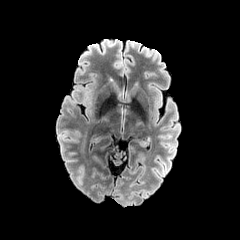
FLAIR magnetic resonance.
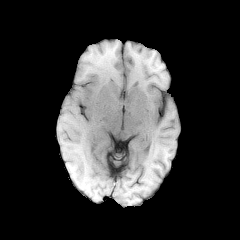
T1-weighted magnetic resonance.
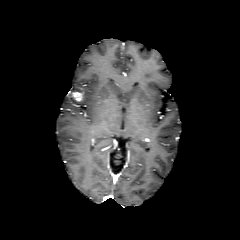
Post-contrast T1-weighted MR image of the same slice.
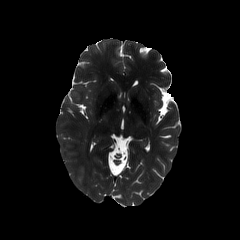
T2-weighted MR image.
Brain. Axial plane.
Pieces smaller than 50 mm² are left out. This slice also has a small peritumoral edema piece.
* enhancing tumor: left=73, top=92, right=82, bottom=101